FLAIR MRI.
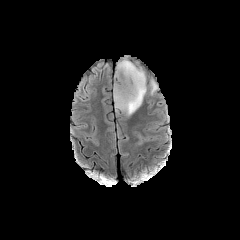
T1-weighted magnetic resonance.
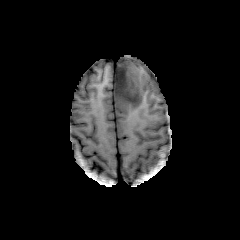
Post-contrast T1-weighted MR.
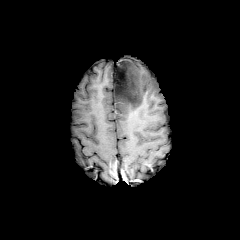
T2-weighted MR image.
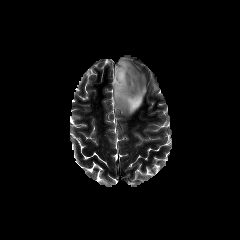
Image size 240x240. Head.
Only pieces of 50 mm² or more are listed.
peritumoral edema: bbox=[151, 80, 158, 93]; bbox=[114, 57, 147, 119] | necrotic tumor core: bbox=[114, 61, 139, 107]